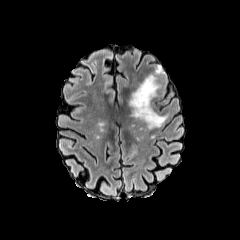
FLAIR magnetic resonance.
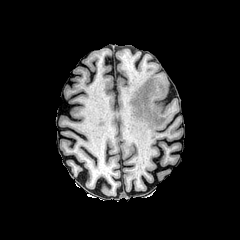
T1-weighted MR.
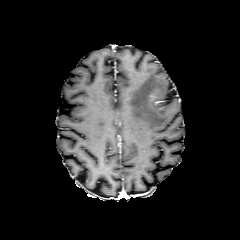
Post-contrast T1-weighted MR of the same slice.
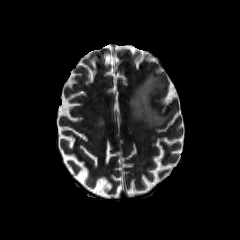
T2-weighted magnetic resonance.
Axial slice | 240x240 px
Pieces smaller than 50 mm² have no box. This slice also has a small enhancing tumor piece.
peritumoral edema at <box>129,66,167,128</box>